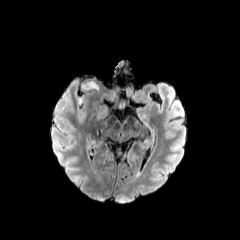
FLAIR MR.
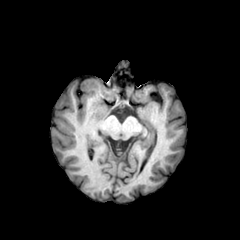
Same slice, T1-weighted MR.
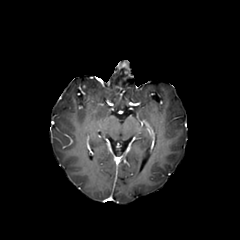
Post-contrast T1-weighted MR.
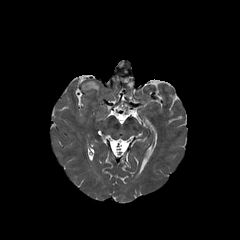
Same slice, T2-weighted MR image.
Head. Axial view.
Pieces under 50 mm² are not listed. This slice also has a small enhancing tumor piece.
<segmentation>
  <peritumoral_edema>bbox(83, 81, 98, 90)</peritumoral_edema>
</segmentation>